FLAIR magnetic resonance.
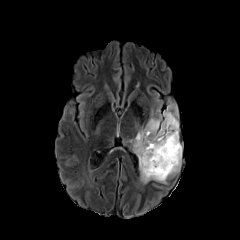
T1-weighted MRI.
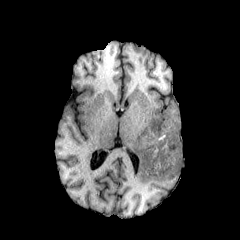
Post-contrast T1-weighted MR image.
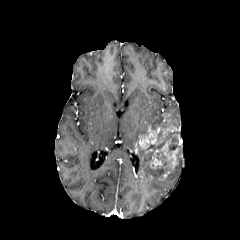
T2-weighted MR image.
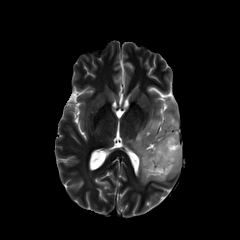
Axial slice. 240x240 px. Head.
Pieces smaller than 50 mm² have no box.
Findings:
* necrotic tumor core: <bbox>151, 116, 178, 129</bbox>, <bbox>137, 130, 180, 179</bbox>
* enhancing tumor: <bbox>135, 125, 179, 153</bbox>, <bbox>150, 138, 178, 180</bbox>
* peritumoral edema: <bbox>163, 105, 179, 127</bbox>, <bbox>152, 157, 180, 183</bbox>, <bbox>137, 154, 150, 183</bbox>, <bbox>129, 114, 163, 151</bbox>